FLAIR MR image.
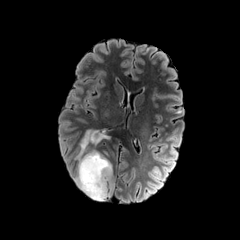
T1-weighted MRI.
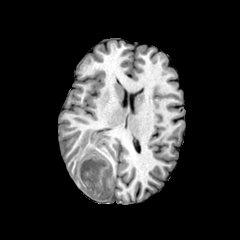
Post-contrast T1-weighted MR image.
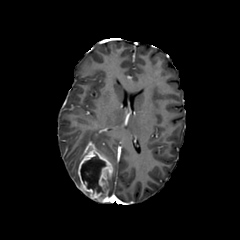
T2-weighted magnetic resonance.
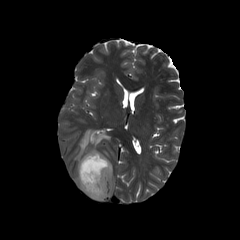
240x240 px. Brain.
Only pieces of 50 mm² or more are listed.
The necrotic tumor core appears at 80,155,105,193. The enhancing tumor is bounded by 78,143,113,202. The 2 largest peritumoral edema regions appear at 74,129,110,187; 108,175,113,196.